FLAIR MR image.
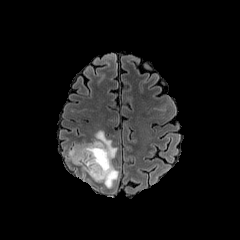
T1-weighted MRI.
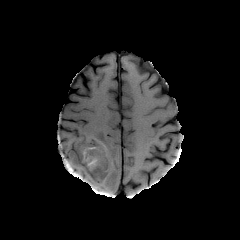
Post-contrast T1-weighted MR image.
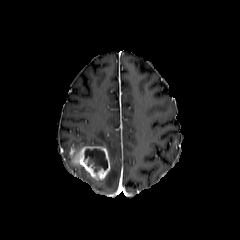
T2-weighted MRI.
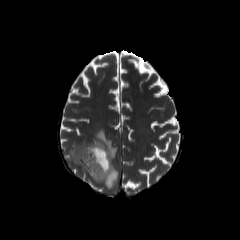
Axial slice | Brain | 240x240 px
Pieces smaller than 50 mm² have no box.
necrotic tumor core = 84 148 107 171
enhancing tumor = 70 146 110 180
peritumoral edema = 72 130 118 187